Axial view, Brain, Slice 128/155
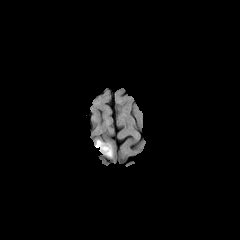
FLAIR MRI.
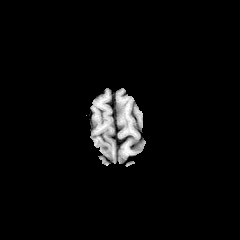
T1-weighted magnetic resonance.
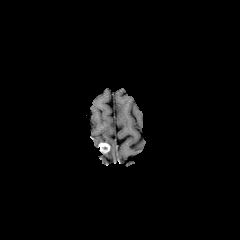
Post-contrast T1-weighted MRI.
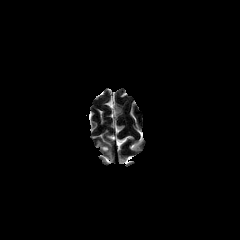
T2-weighted MRI.
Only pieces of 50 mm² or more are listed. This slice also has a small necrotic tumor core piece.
The largest peritumoral edema region appears at (x1=102, y1=141, x2=113, y2=157). The enhancing tumor appears at (x1=98, y1=142, x2=110, y2=153).